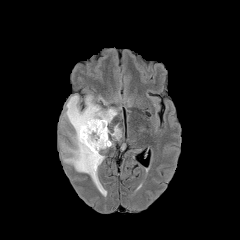
FLAIR MR image.
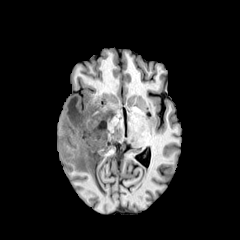
T1-weighted magnetic resonance.
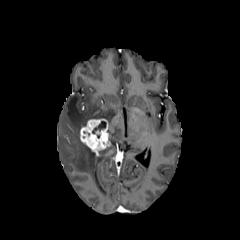
Same slice, post-contrast T1-weighted MR image.
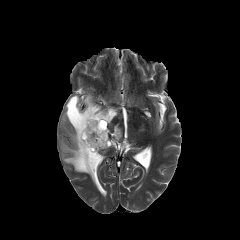
T2-weighted MR.
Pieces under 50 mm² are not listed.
peritumoral edema: <bbox>62, 95, 117, 194</bbox>, <bbox>110, 125, 121, 139</bbox> | enhancing tumor: <bbox>80, 119, 110, 155</bbox> | necrotic tumor core: <bbox>92, 121, 106, 133</bbox>